240x240. Slice index 83. Head.
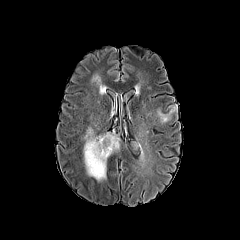
FLAIR MRI.
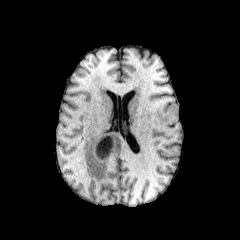
T1-weighted MR of the same slice.
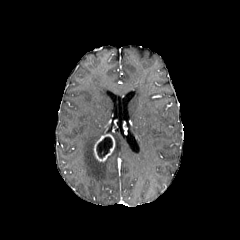
Post-contrast T1-weighted MR.
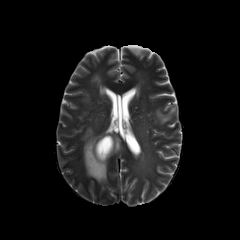
T2-weighted MR image of the same slice.
Segmented structures:
* peritumoral edema: <box>156,105,176,123</box>, <box>83,127,106,181</box>, <box>111,133,120,151</box>
* necrotic tumor core: <box>97,137,112,158</box>
* enhancing tumor: <box>94,134,114,161</box>